Axial view
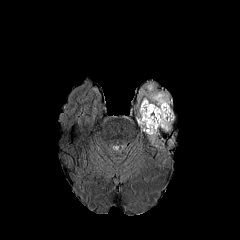
FLAIR MR image.
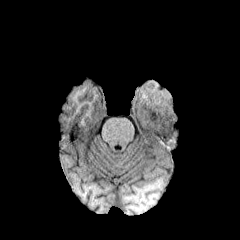
T1-weighted MRI.
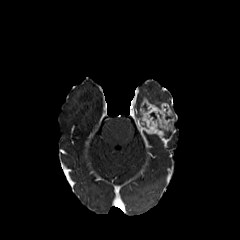
Post-contrast T1-weighted MR.
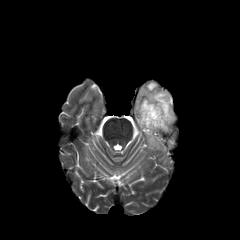
T2-weighted MR image.
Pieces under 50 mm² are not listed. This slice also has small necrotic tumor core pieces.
enhancing tumor: bounding box x1=137, y1=98, x2=174, y2=136
peritumoral edema: bounding box x1=162, y1=131, x2=171, y2=138; x1=138, y1=83, x2=169, y2=105